Slice 39/155
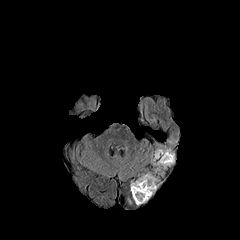
FLAIR MRI.
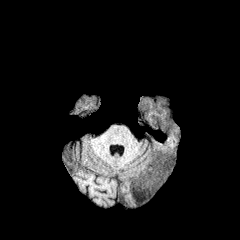
T1-weighted MRI.
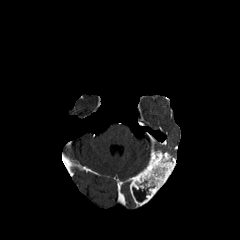
Post-contrast T1-weighted MRI.
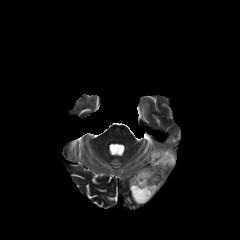
T2-weighted magnetic resonance of the same slice.
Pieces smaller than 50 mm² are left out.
Findings:
• peritumoral edema: 157 145 174 155
• enhancing tumor: 129 150 175 206
• necrotic tumor core: 132 186 154 202